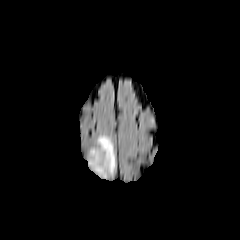
FLAIR MR.
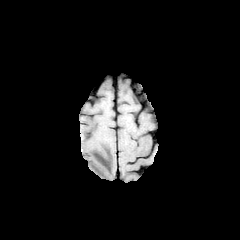
T1-weighted MR.
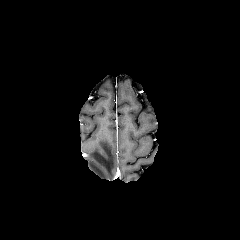
Same slice, post-contrast T1-weighted magnetic resonance.
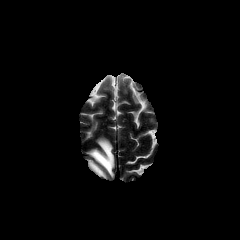
T2-weighted MR.
Brain, Axial view
peritumoral edema at 88, 136, 115, 178